Image width 240 mm, 1.00 mm slice spacing | Axial slice | Slice 71 of 155 | Brain | 240x240 px
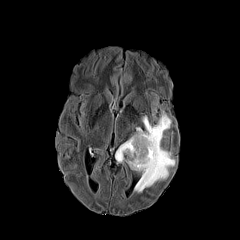
FLAIR MR image.
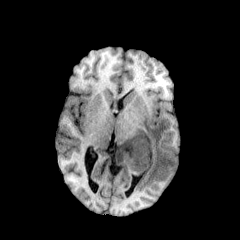
T1-weighted MR image of the same slice.
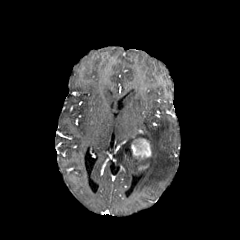
Post-contrast T1-weighted MR of the same slice.
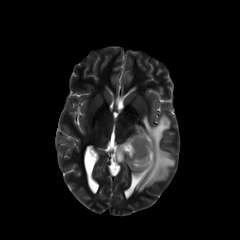
Same slice, T2-weighted MR image.
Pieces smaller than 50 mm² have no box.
peritumoral edema: bounding box x1=116 y1=112 x2=175 y2=192
enhancing tumor: bounding box x1=130 y1=137 x2=151 y2=161